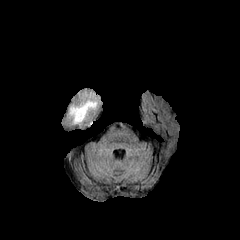
FLAIR MR image.
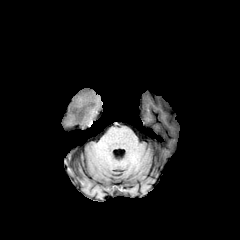
T1-weighted magnetic resonance of the same slice.
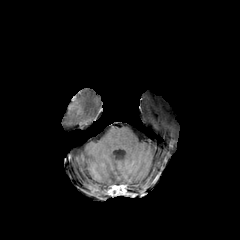
Post-contrast T1-weighted magnetic resonance.
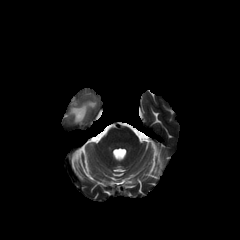
T2-weighted MR of the same slice.
Brain
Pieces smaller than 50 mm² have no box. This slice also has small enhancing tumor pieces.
peritumoral_edema:
  - (67, 90, 98, 125)